FLAIR MR.
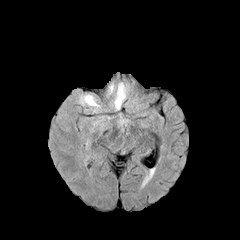
T1-weighted MR.
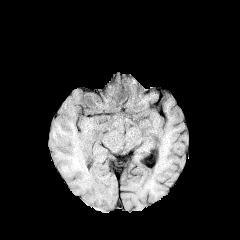
Post-contrast T1-weighted MRI.
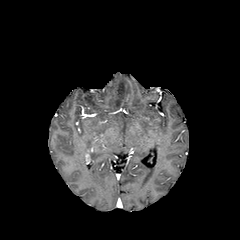
T2-weighted MR image.
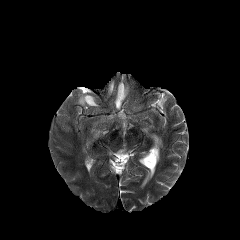
Head.
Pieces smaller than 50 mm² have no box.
peritumoral edema at (left=79, top=94, right=99, bottom=109), (left=114, top=82, right=128, bottom=109)